FLAIR MR.
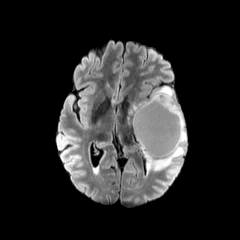
T1-weighted MR image.
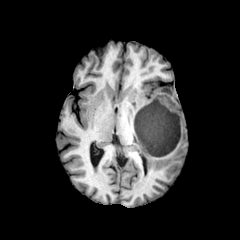
Post-contrast T1-weighted magnetic resonance.
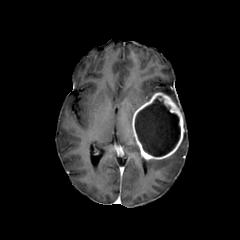
T2-weighted MR image.
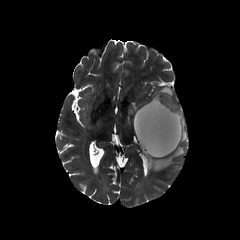
Axial plane
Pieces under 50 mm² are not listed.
Annotated regions:
* enhancing tumor: [132, 92, 184, 160]
* necrotic tumor core: [135, 96, 180, 156]
* peritumoral edema: [146, 118, 187, 171], [150, 86, 179, 107], [127, 99, 149, 124]